Head | Image width 240 mm | 240x240
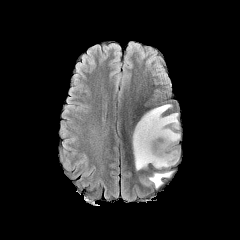
FLAIR magnetic resonance.
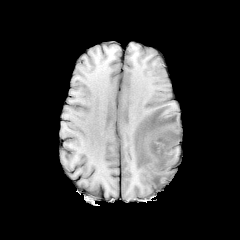
Same slice, T1-weighted magnetic resonance.
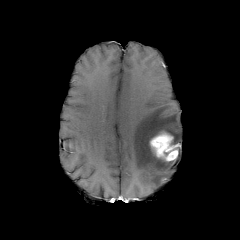
Post-contrast T1-weighted MR of the same slice.
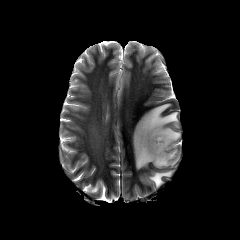
Same slice, T2-weighted MR image.
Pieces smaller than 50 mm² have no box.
<segmentation>
  <enhancing_tumor>(149,131,179,163)</enhancing_tumor>
  <peritumoral_edema>(133,104,180,170), (142,171,172,187)</peritumoral_edema>
</segmentation>